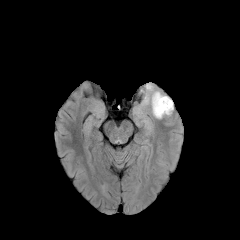
FLAIR MR image.
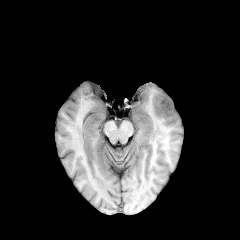
T1-weighted magnetic resonance.
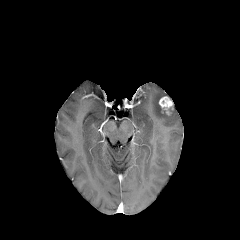
Post-contrast T1-weighted MR image of the same slice.
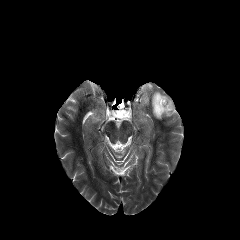
T2-weighted MR image of the same slice.
Brain.
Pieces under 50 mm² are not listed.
The largest peritumoral edema region is located at x1=134 y1=82 x2=171 y2=126. The enhancing tumor is located at x1=159 y1=96 x2=173 y2=115.